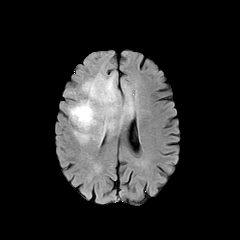
FLAIR MRI.
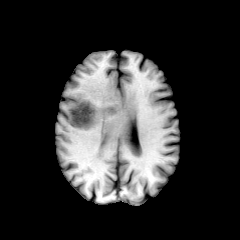
Same slice, T1-weighted MR.
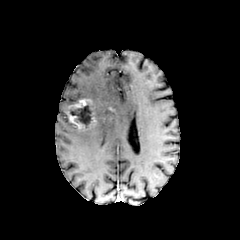
Same slice, post-contrast T1-weighted MR.
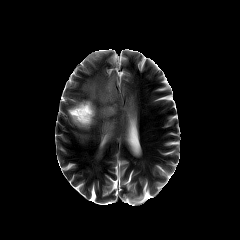
T2-weighted magnetic resonance.
240x240
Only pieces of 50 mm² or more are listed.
The necrotic tumor core is at 68:105:92:128. 2 enhancing tumor regions appear at 67:111:84:129, 68:99:96:127. The largest peritumoral edema region is located at 71:73:136:143.